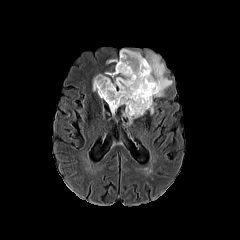
FLAIR magnetic resonance.
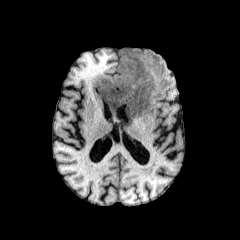
Same slice, T1-weighted magnetic resonance.
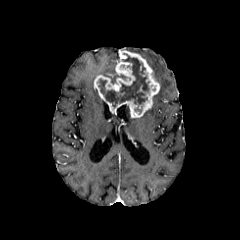
Same slice, post-contrast T1-weighted MRI.
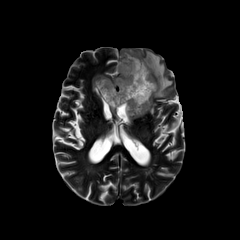
T2-weighted MR image.
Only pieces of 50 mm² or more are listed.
enhancing_tumor:
  - {"x1": 94, "y1": 49, "x2": 160, "y2": 118}
necrotic_tumor_core:
  - {"x1": 98, "y1": 56, "x2": 148, "y2": 107}
peritumoral_edema:
  - {"x1": 103, "y1": 71, "x2": 126, "y2": 83}
  - {"x1": 144, "y1": 51, "x2": 172, "y2": 98}
  - {"x1": 123, "y1": 104, "x2": 133, "y2": 123}